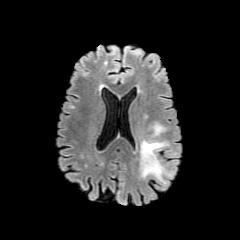
FLAIR MRI.
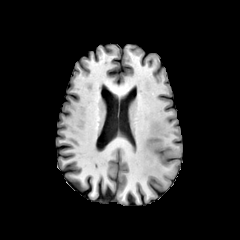
T1-weighted MR image of the same slice.
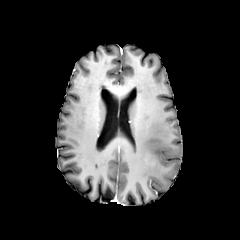
Post-contrast T1-weighted magnetic resonance of the same slice.
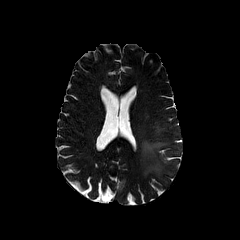
Same slice, T2-weighted MR image.
peritumoral edema at l=155, t=125, r=163, b=134; l=140, t=140, r=167, b=180